FLAIR MR image.
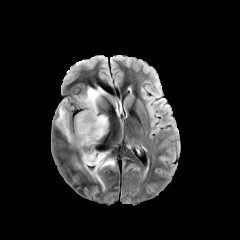
T1-weighted MRI.
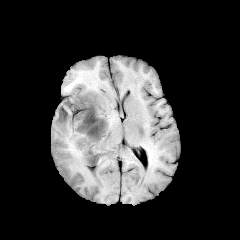
Post-contrast T1-weighted MRI.
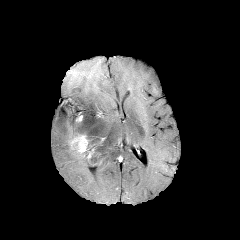
T2-weighted MR image.
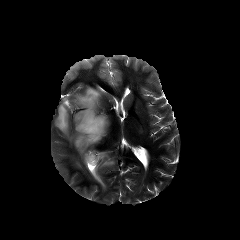
Head. Image size 240x240.
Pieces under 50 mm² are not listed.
The largest enhancing tumor region is located at box=[72, 135, 88, 152]. The largest peritumoral edema region is bounded by box=[55, 87, 115, 183].